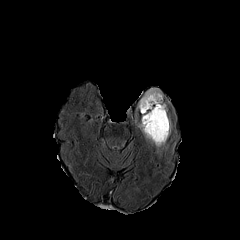
FLAIR MRI.
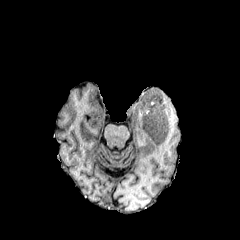
T1-weighted MR of the same slice.
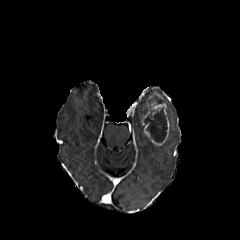
Same slice, post-contrast T1-weighted MR.
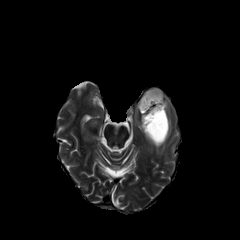
T2-weighted magnetic resonance.
Axial view. 240x240.
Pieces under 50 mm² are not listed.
Findings:
• necrotic tumor core: 148, 95, 161, 103; 144, 108, 167, 142
• peritumoral edema: 137, 88, 163, 117
• enhancing tumor: 141, 92, 169, 145